FLAIR magnetic resonance.
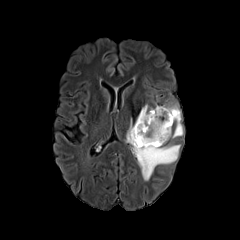
T1-weighted MRI.
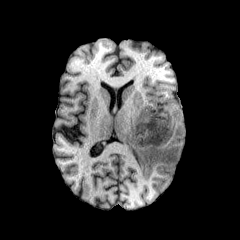
Post-contrast T1-weighted MR.
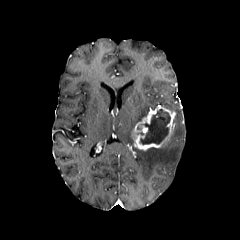
T2-weighted MRI.
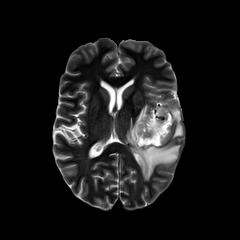
Axial plane; 240x240 px; Head
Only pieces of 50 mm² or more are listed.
necrotic_tumor_core:
  - x1=140, y1=109, x2=170, y2=144
peritumoral_edema:
  - x1=164, y1=105, x2=183, y2=138
  - x1=135, y1=104, x2=148, y2=124
  - x1=125, y1=119, x2=180, y2=180
enhancing_tumor:
  - x1=131, y1=105, x2=175, y2=150